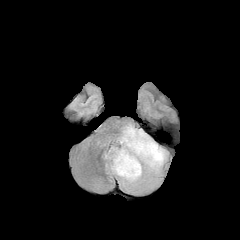
FLAIR MR.
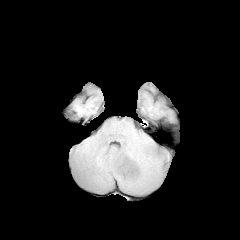
T1-weighted magnetic resonance of the same slice.
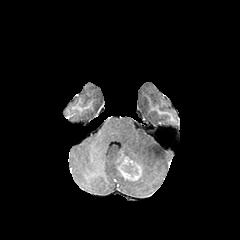
Post-contrast T1-weighted magnetic resonance.
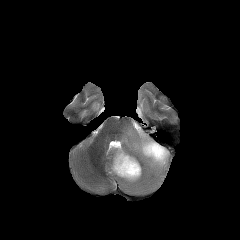
T2-weighted MRI of the same slice.
240x240 px; Head
Segmented structures:
* peritumoral edema: l=104, t=124, r=168, b=194
* necrotic tumor core: l=125, t=164, r=137, b=173
* enhancing tumor: l=116, t=154, r=141, b=180